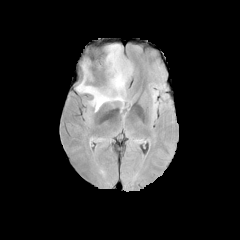
FLAIR magnetic resonance.
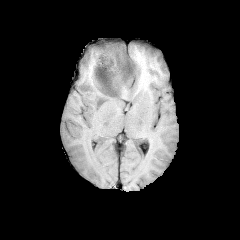
T1-weighted MRI of the same slice.
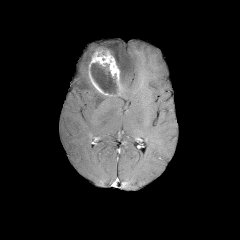
Post-contrast T1-weighted MRI of the same slice.
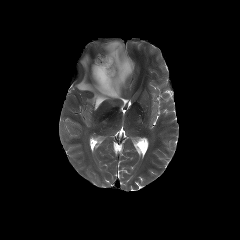
Same slice, T2-weighted MRI.
Image size 240x240. Axial view. Head.
necrotic tumor core at (90, 63, 116, 93)
peritumoral edema at (76, 41, 133, 110)
enhancing tumor at (89, 47, 121, 96)